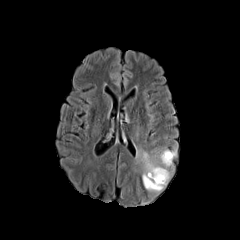
FLAIR MR image.
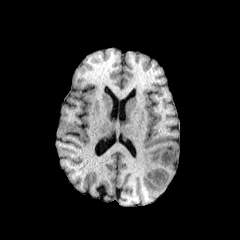
Same slice, T1-weighted MRI.
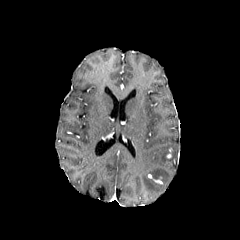
Post-contrast T1-weighted MR.
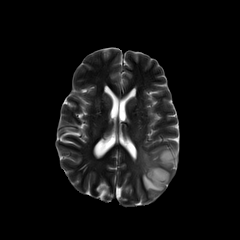
T2-weighted magnetic resonance.
Axial plane, Image size 240x240
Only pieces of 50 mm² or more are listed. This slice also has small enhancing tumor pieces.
peritumoral edema: 136,147,176,193